Brain, Image size 240x240, Slice 111 of 155
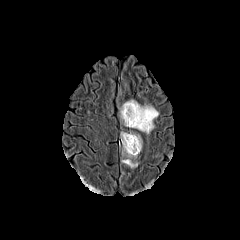
FLAIR MR.
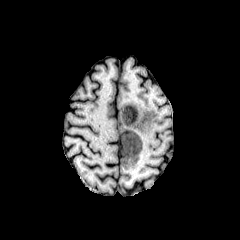
T1-weighted magnetic resonance.
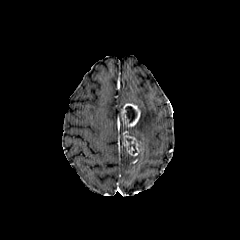
Post-contrast T1-weighted MR.
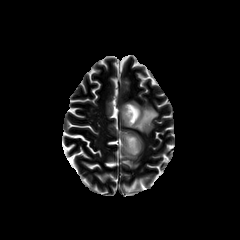
T2-weighted MRI.
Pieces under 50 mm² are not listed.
necrotic_tumor_core:
  - (126, 106, 136, 122)
peritumoral_edema:
  - (121, 154, 137, 168)
  - (126, 100, 158, 133)
enhancing_tumor:
  - (122, 133, 142, 156)
  - (121, 103, 140, 127)